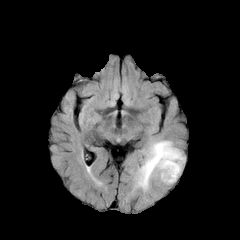
FLAIR magnetic resonance.
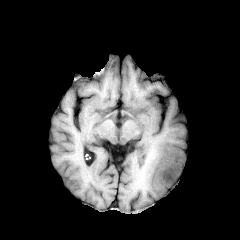
T1-weighted MR image of the same slice.
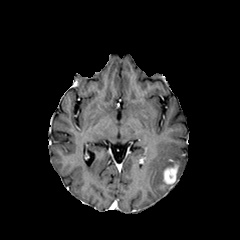
Post-contrast T1-weighted MRI.
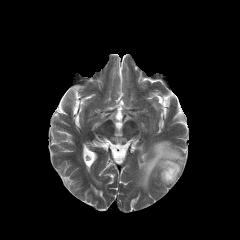
T2-weighted MRI of the same slice.
Brain.
Segmented structures:
• peritumoral edema: (138,141,184,190)
• enhancing tumor: (163,164,178,184)